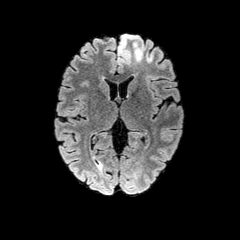
FLAIR MR.
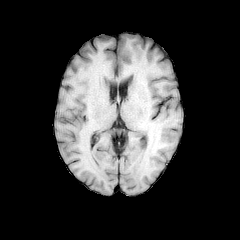
T1-weighted magnetic resonance.
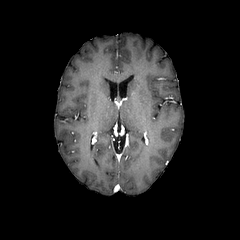
Post-contrast T1-weighted magnetic resonance.
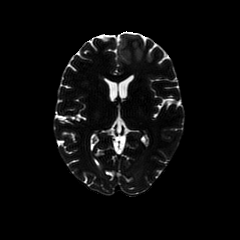
T2-weighted MR image.
Head.
peritumoral edema — box(133, 42, 144, 60); box(117, 34, 138, 64)